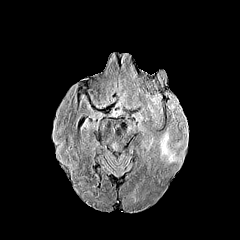
FLAIR MRI.
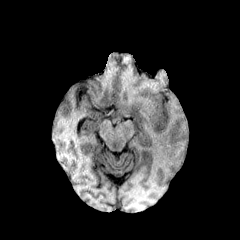
T1-weighted MR of the same slice.
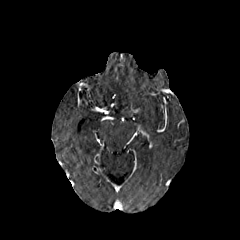
Post-contrast T1-weighted magnetic resonance.
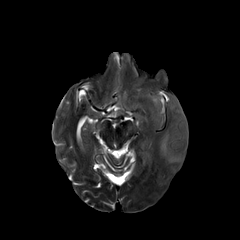
Same slice, T2-weighted MR image.
Brain; 240x240
The peritumoral edema is bounded by x1=160, y1=137, x2=173, y2=162.